Axial view | Brain | 240x240 px | Slice 67 of 155
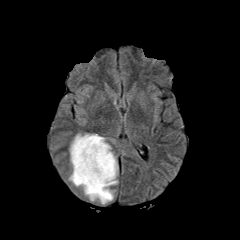
FLAIR MRI.
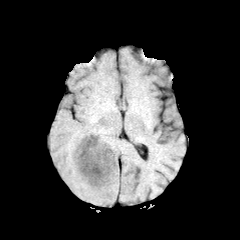
T1-weighted magnetic resonance of the same slice.
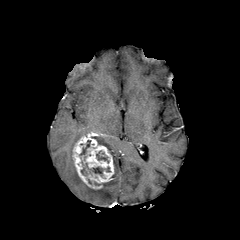
Post-contrast T1-weighted MR.
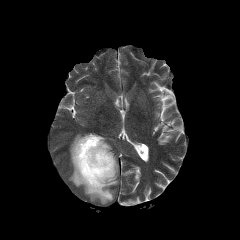
T2-weighted magnetic resonance.
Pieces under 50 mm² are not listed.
peritumoral edema: [x1=68, y1=133, x2=118, y2=204] | enhancing tumor: [x1=72, y1=133, x2=114, y2=189] | necrotic tumor core: [x1=80, y1=140, x2=90, y2=155], [x1=92, y1=167, x2=103, y2=175]